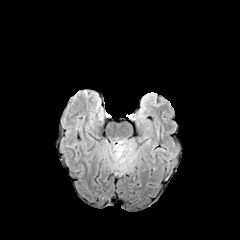
FLAIR MR.
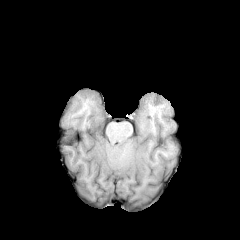
T1-weighted MR of the same slice.
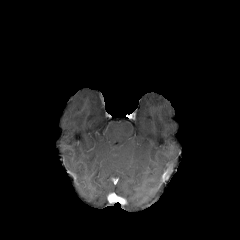
Same slice, post-contrast T1-weighted MRI.
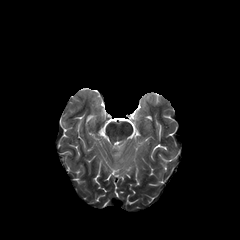
T2-weighted magnetic resonance of the same slice.
Axial plane
{
  "peritumoral_edema": [
    "<box>112,140,137,174</box>"
  ]
}